Axial slice, Slice 101 of 155
FLAIR magnetic resonance.
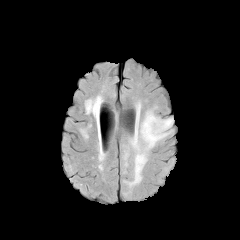
T1-weighted MRI.
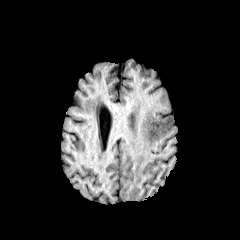
Post-contrast T1-weighted magnetic resonance.
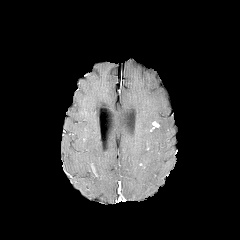
T2-weighted MRI.
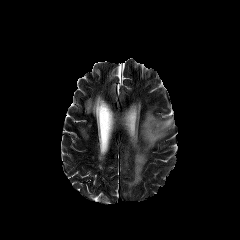
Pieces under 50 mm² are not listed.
<segmentation>
  <peritumoral_edema>region(125, 102, 174, 187)</peritumoral_edema>
  <enhancing_tumor>region(150, 121, 159, 131)</enhancing_tumor>
</segmentation>